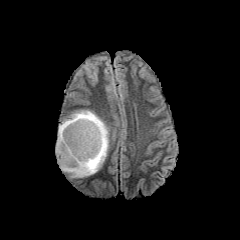
FLAIR MR.
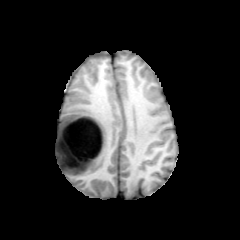
T1-weighted MR image of the same slice.
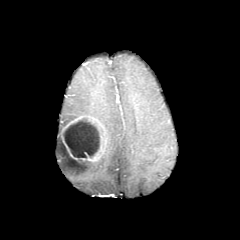
Post-contrast T1-weighted magnetic resonance.
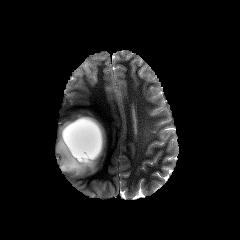
T2-weighted magnetic resonance of the same slice.
240x240. Head.
enhancing tumor: [61, 116, 105, 161] | peritumoral edema: [56, 110, 108, 177] | necrotic tumor core: [62, 118, 100, 158]